Brain; Axial slice
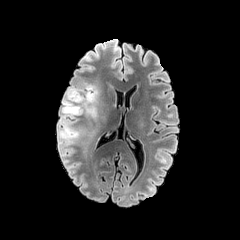
FLAIR MR image.
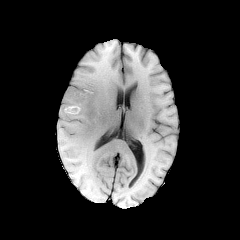
Same slice, T1-weighted MR image.
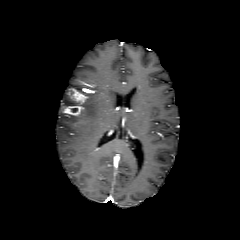
Post-contrast T1-weighted MR image of the same slice.
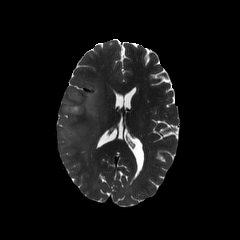
Same slice, T2-weighted magnetic resonance.
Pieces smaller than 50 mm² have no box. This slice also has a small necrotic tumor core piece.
- peritumoral edema: box=[59, 87, 97, 147]
- enhancing tumor: box=[68, 89, 88, 103]; box=[63, 105, 84, 115]